Axial plane; Slice index 41
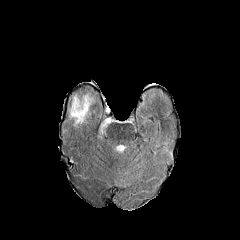
FLAIR MR.
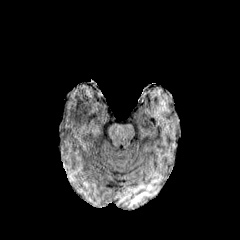
Same slice, T1-weighted magnetic resonance.
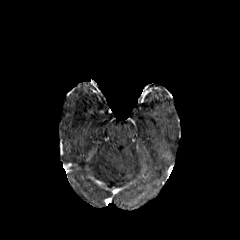
Post-contrast T1-weighted MRI.
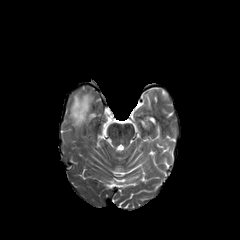
Same slice, T2-weighted MRI.
peritumoral edema = (71,95,91,124)